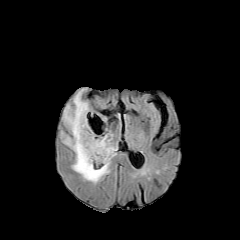
FLAIR MR.
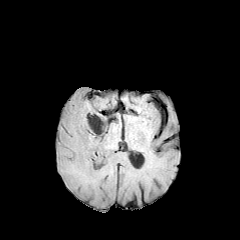
T1-weighted MR.
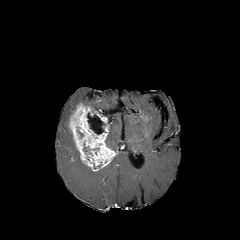
Same slice, post-contrast T1-weighted MR image.
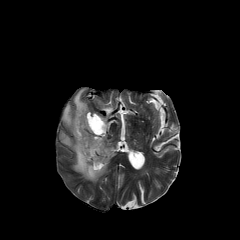
T2-weighted MR.
Axial plane; 240x240 px; Head
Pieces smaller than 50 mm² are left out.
<segmentation>
  <peritumoral_edema>x1=62, y1=88, x2=88, y2=132; x1=60, y1=131, x2=109, y2=183; x1=106, y1=136, x2=117, y2=151</peritumoral_edema>
  <necrotic_tumor_core>x1=87, y1=112, x2=105, y2=134</necrotic_tumor_core>
  <enhancing_tumor>x1=68, y1=103, x2=116, y2=171</enhancing_tumor>
</segmentation>